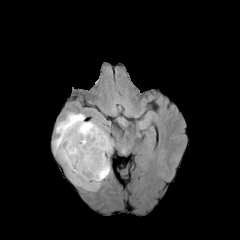
FLAIR MR image.
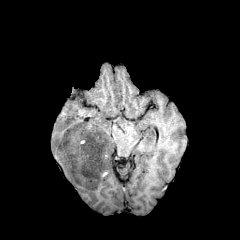
T1-weighted MRI of the same slice.
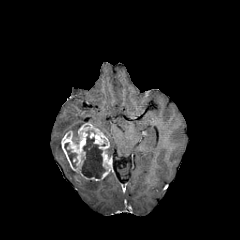
Post-contrast T1-weighted MRI.
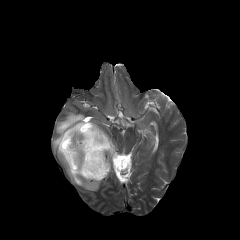
T2-weighted MR image of the same slice.
Axial slice | 240x240 px | Brain
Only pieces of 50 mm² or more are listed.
<segmentation>
  <peritumoral_edema><box>52,112,101,191</box>, <box>89,120,114,157</box></peritumoral_edema>
  <necrotic_tumor_core><box>64,143,76,167</box>, <box>81,136,105,178</box></necrotic_tumor_core>
  <enhancing_tumor><box>59,122,111,181</box></enhancing_tumor>
</segmentation>